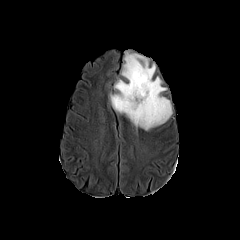
FLAIR magnetic resonance.
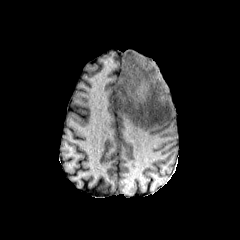
T1-weighted MRI.
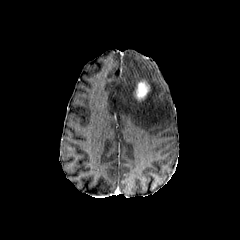
Post-contrast T1-weighted MRI.
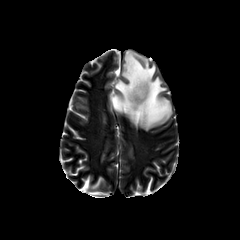
T2-weighted magnetic resonance of the same slice.
peritumoral edema: bounding box 109:51:172:130
enhancing tumor: bounding box 134:80:149:100